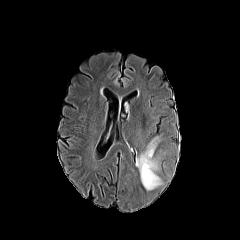
FLAIR MR image.
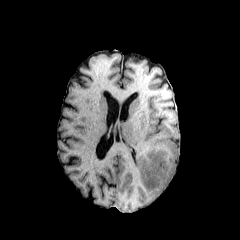
Same slice, T1-weighted magnetic resonance.
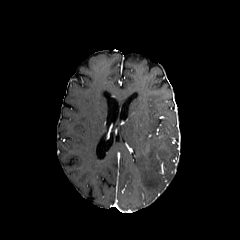
Post-contrast T1-weighted MR image.
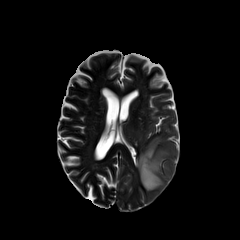
T2-weighted magnetic resonance.
240x240 px | Head | Axial plane
peritumoral edema — [136,138,162,190]